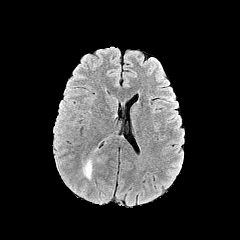
FLAIR MR image.
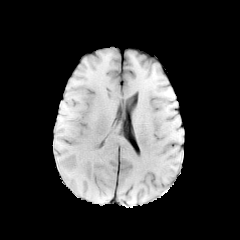
T1-weighted magnetic resonance of the same slice.
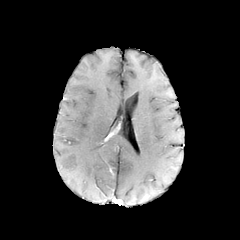
Post-contrast T1-weighted MRI.
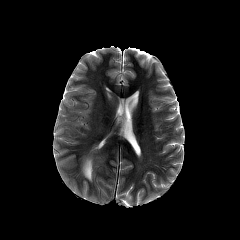
Same slice, T2-weighted MRI.
Head. 240x240.
Annotated regions:
* peritumoral edema: (x1=81, y1=156, x2=93, y2=181)